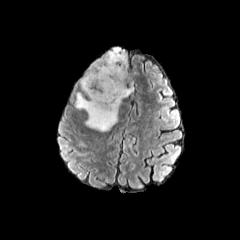
FLAIR MR.
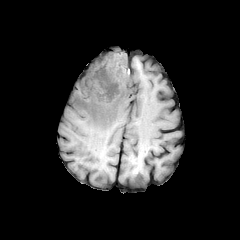
T1-weighted MR of the same slice.
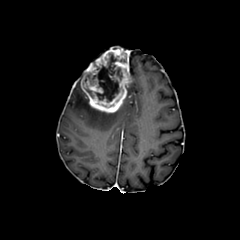
Post-contrast T1-weighted MR image.
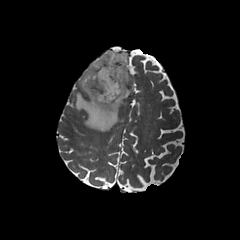
Same slice, T2-weighted MRI.
Axial view | 240x240 px
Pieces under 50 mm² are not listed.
The largest necrotic tumor core region is located at (left=84, top=54, right=122, bottom=102). The 2 largest peritumoral edema regions are located at (left=74, top=89, right=118, bottom=131), (left=127, top=82, right=133, bottom=96). The enhancing tumor appears at (left=80, top=47, right=132, bottom=113).